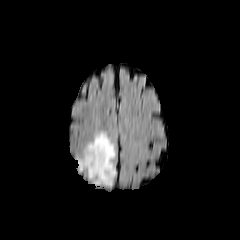
FLAIR magnetic resonance.
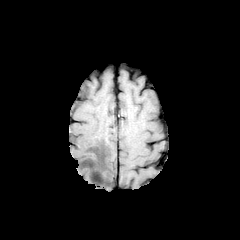
T1-weighted MR of the same slice.
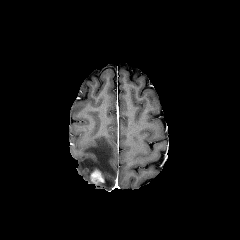
Post-contrast T1-weighted magnetic resonance.
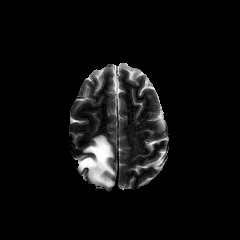
T2-weighted MRI of the same slice.
Brain
enhancing tumor: region(90, 169, 104, 185) | peritumoral edema: region(76, 133, 115, 187)